Axial plane
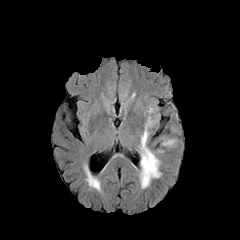
FLAIR MRI.
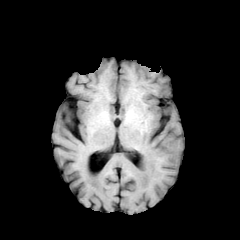
T1-weighted MR image of the same slice.
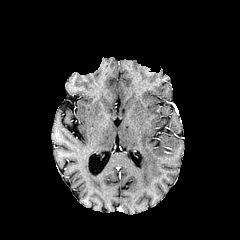
Post-contrast T1-weighted MR.
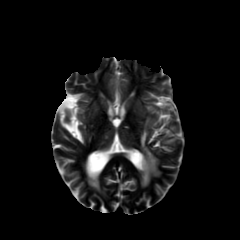
T2-weighted MRI.
2 peritumoral edema regions are located at 163, 139, 174, 145; 140, 120, 160, 187.